Brain; Axial view; 240x240
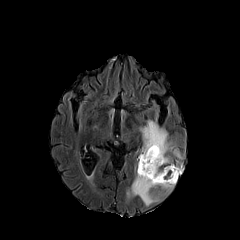
FLAIR MR image.
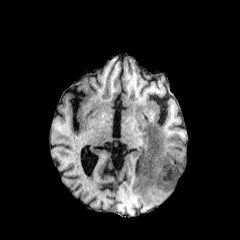
Same slice, T1-weighted MR.
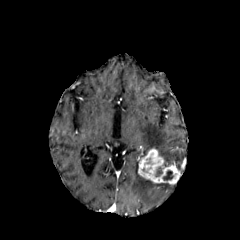
Post-contrast T1-weighted MRI of the same slice.
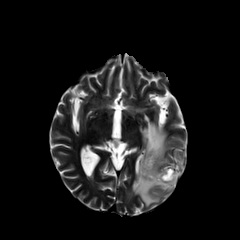
T2-weighted MRI.
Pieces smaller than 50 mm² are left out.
peritumoral edema: bounding box (173,150,182,159), (140,120,172,163), (127,173,174,206)
enhancing tumor: bounding box (138,148,181,185)
necrotic tumor core: bounding box (163,170,173,180)